240x240. Slice 67/155.
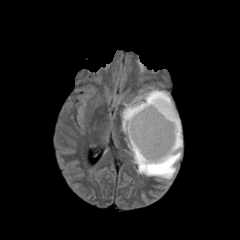
FLAIR MR image.
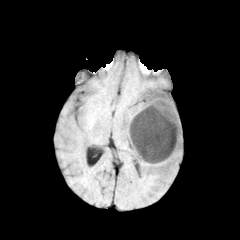
T1-weighted magnetic resonance.
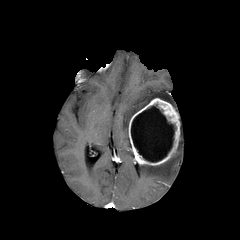
Post-contrast T1-weighted MRI.
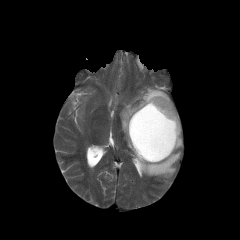
T2-weighted magnetic resonance of the same slice.
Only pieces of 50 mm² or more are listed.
peritumoral edema: (x1=121, y1=88, x2=173, y2=149), (x1=139, y1=128, x2=182, y2=179) | necrotic tumor core: (x1=131, y1=105, x2=175, y2=162) | enhancing tumor: (x1=128, y1=98, x2=180, y2=165)